Image width 240 mm, 1.00 mm slice spacing; Slice 44 of 155; Brain
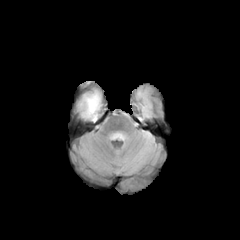
FLAIR MR.
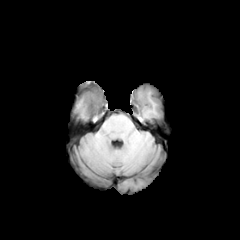
T1-weighted MR.
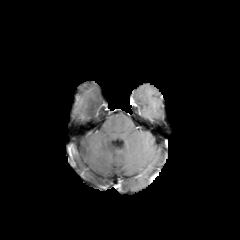
Same slice, post-contrast T1-weighted magnetic resonance.
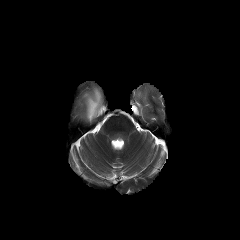
T2-weighted MR.
Segmented structures:
• necrotic tumor core: (87, 97, 99, 119)
• peritumoral edema: (80, 90, 101, 120)